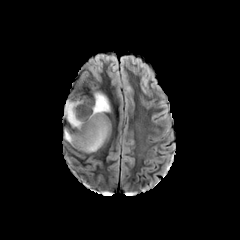
FLAIR MR image.
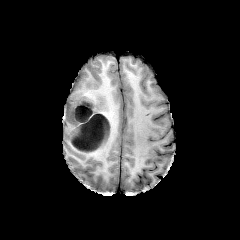
Same slice, T1-weighted MR image.
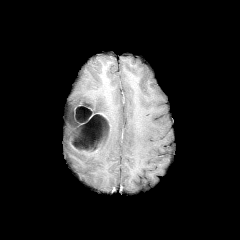
Post-contrast T1-weighted MR.
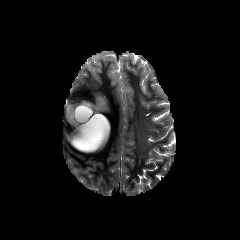
T2-weighted magnetic resonance.
Head, Axial view
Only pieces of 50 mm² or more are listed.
The largest peritumoral edema region is at x1=64 y1=92 x2=110 y2=127. The enhancing tumor is at x1=68 y1=105 x2=110 y2=153. 2 necrotic tumor core regions are bounded by x1=75 y1=107 x2=91 y2=122, x1=72 y1=115 x2=108 y2=150.